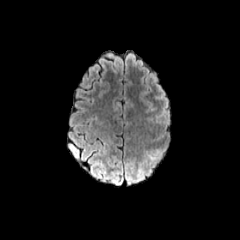
FLAIR MRI.
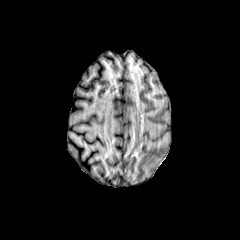
Same slice, T1-weighted MR image.
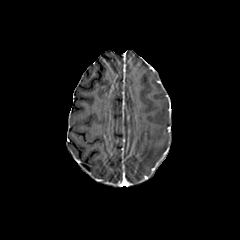
Post-contrast T1-weighted MR of the same slice.
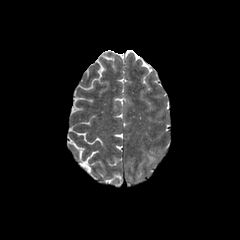
Same slice, T2-weighted MR image.
240x240. Axial slice.
The peritumoral edema is located at region(148, 155, 157, 163).